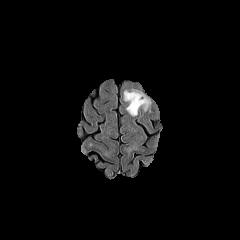
FLAIR MR image.
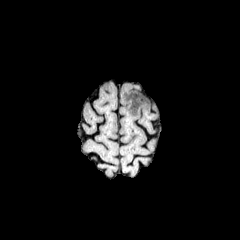
T1-weighted MR of the same slice.
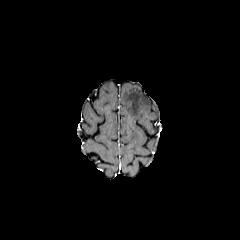
Post-contrast T1-weighted magnetic resonance of the same slice.
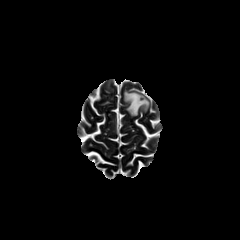
Same slice, T2-weighted magnetic resonance.
Axial slice; Head
The peritumoral edema is located at x1=123, y1=89, x2=150, y2=116.